FLAIR MR.
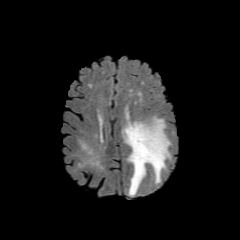
T1-weighted MRI.
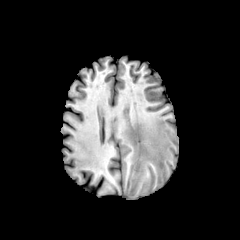
Post-contrast T1-weighted MR image.
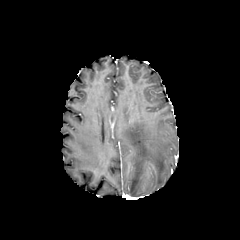
T2-weighted MRI.
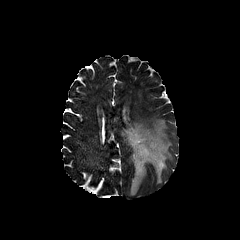
240x240 px; Head
<segmentation>
  <peritumoral_edema>122 117 171 195</peritumoral_edema>
</segmentation>